FLAIR MR.
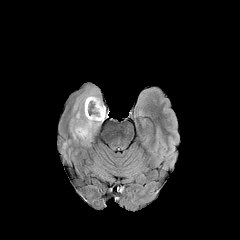
T1-weighted MR.
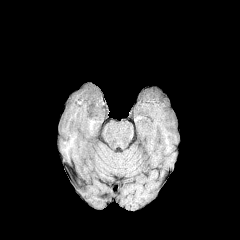
Post-contrast T1-weighted magnetic resonance.
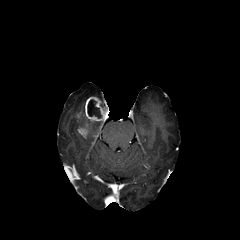
T2-weighted MR.
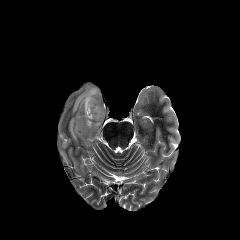
240x240 px, Brain, Axial slice
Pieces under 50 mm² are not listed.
The largest peritumoral edema region lies within 70 87 102 144. The 2 largest enhancing tumor regions appear at 77 123 88 138, 85 96 108 121. The largest necrotic tumor core region is bounded by 87 100 101 118.